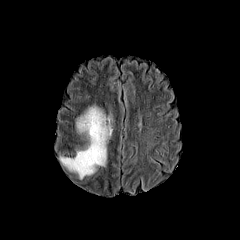
FLAIR MRI.
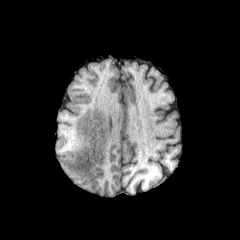
T1-weighted MRI of the same slice.
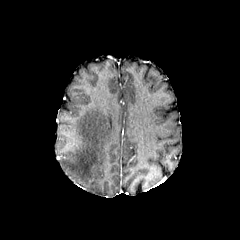
Same slice, post-contrast T1-weighted MRI.
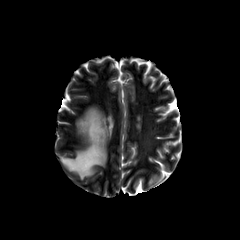
T2-weighted MR.
Head.
<segmentation>
  <peritumoral_edema>region(59, 104, 112, 179)</peritumoral_edema>
</segmentation>